Slice 41 of 155 | 240x240 px | Brain | Axial plane
FLAIR MR image.
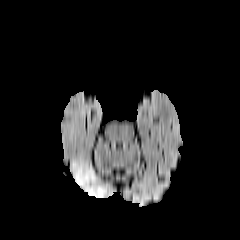
T1-weighted MR image.
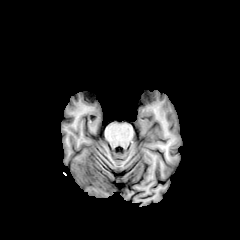
Post-contrast T1-weighted MRI.
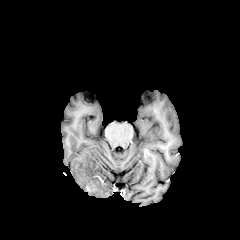
T2-weighted MR.
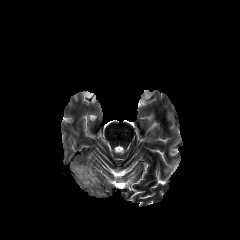
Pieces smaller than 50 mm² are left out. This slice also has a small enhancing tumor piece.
peritumoral edema at [73,162,106,197]